Head. Slice index 73. Axial view.
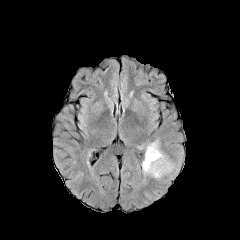
FLAIR MR image.
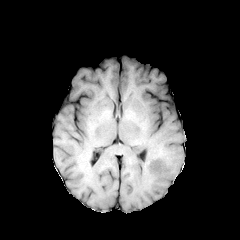
T1-weighted MRI of the same slice.
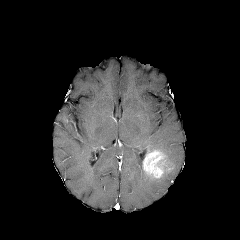
Post-contrast T1-weighted magnetic resonance.
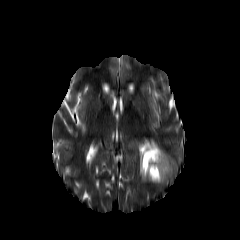
T2-weighted magnetic resonance of the same slice.
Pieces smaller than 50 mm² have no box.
The 2 largest peritumoral edema regions are located at (153, 156, 177, 181), (138, 140, 162, 154). The enhancing tumor is at (142, 149, 172, 180).